Axial plane, Image size 240x240, Head
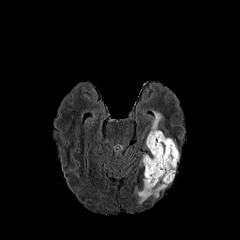
FLAIR MR.
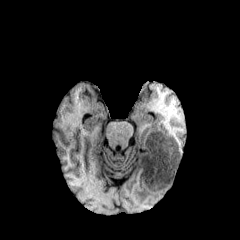
Same slice, T1-weighted MR image.
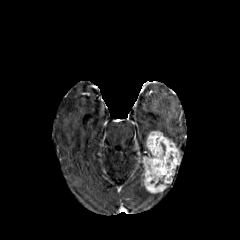
Same slice, post-contrast T1-weighted MRI.
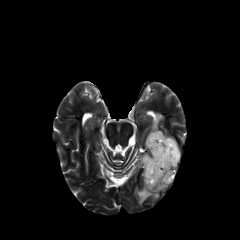
T2-weighted MRI.
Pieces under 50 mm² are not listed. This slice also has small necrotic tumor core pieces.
peritumoral_edema:
  - bbox=[150, 111, 163, 131]
  - bbox=[134, 186, 159, 204]
enhancing_tumor:
  - bbox=[140, 131, 179, 193]